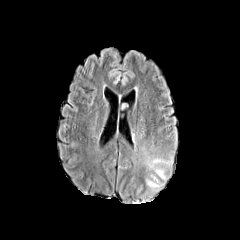
FLAIR MR.
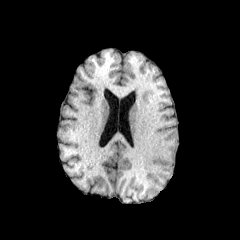
Same slice, T1-weighted MR image.
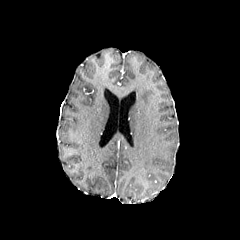
Post-contrast T1-weighted MRI of the same slice.
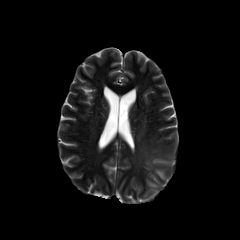
T2-weighted MR of the same slice.
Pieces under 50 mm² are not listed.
peritumoral edema: (145, 157, 171, 179), (147, 180, 160, 190)